FLAIR magnetic resonance.
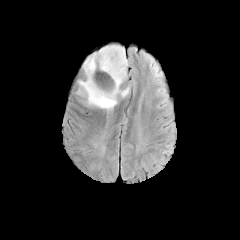
T1-weighted MRI.
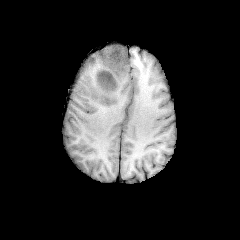
Post-contrast T1-weighted MR.
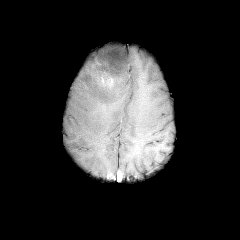
T2-weighted MR image.
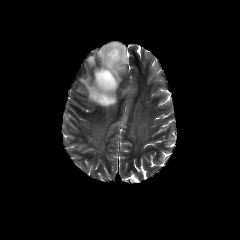
Axial plane.
The peritumoral edema is bounded by 77 44 128 108. The enhancing tumor is at 94 69 117 89.